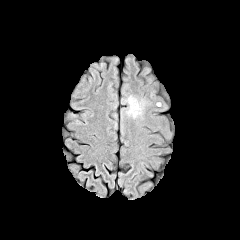
FLAIR MR.
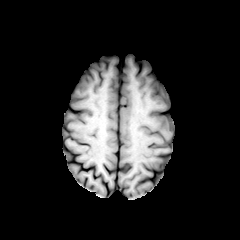
T1-weighted MRI.
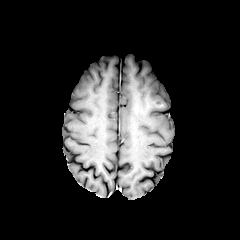
Same slice, post-contrast T1-weighted magnetic resonance.
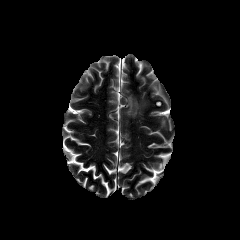
T2-weighted MR image of the same slice.
Brain, 240x240
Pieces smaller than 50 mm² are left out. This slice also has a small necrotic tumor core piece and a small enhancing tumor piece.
The peritumoral edema lies within [125, 95, 143, 117].